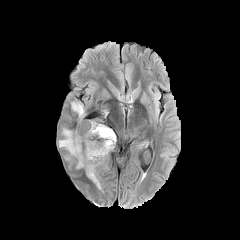
FLAIR MR.
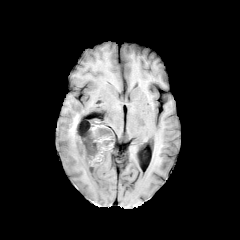
Same slice, T1-weighted MR image.
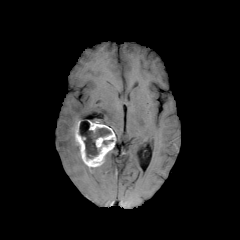
Same slice, post-contrast T1-weighted magnetic resonance.
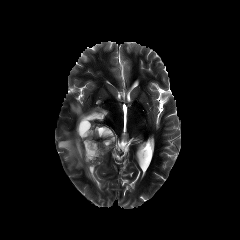
T2-weighted MR image.
240x240 px
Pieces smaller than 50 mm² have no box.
enhancing tumor: <bbox>75, 118, 116, 172</bbox> | peritumoral edema: <bbox>72, 102, 84, 119</bbox>, <bbox>58, 128, 103, 191</bbox> | necrotic tumor core: <bbox>79, 121, 111, 158</bbox>